Slice index 104
FLAIR MRI.
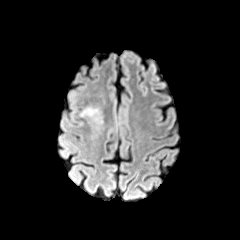
T1-weighted MR.
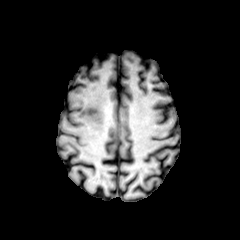
Post-contrast T1-weighted MRI.
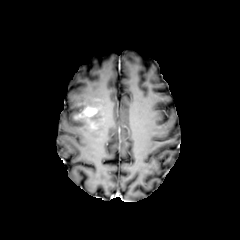
T2-weighted MR.
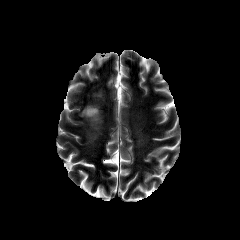
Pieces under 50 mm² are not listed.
Findings:
• peritumoral edema: l=88, t=109, r=99, b=121
• enhancing tumor: l=79, t=107, r=97, b=116